Brain; 240x240 px; Image width 240 mm, 1.00 mm slice spacing
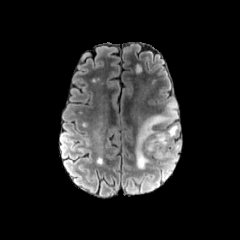
FLAIR MR image.
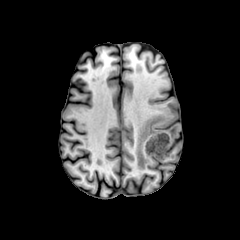
T1-weighted MR image.
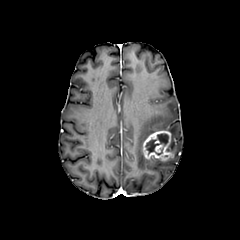
Same slice, post-contrast T1-weighted magnetic resonance.
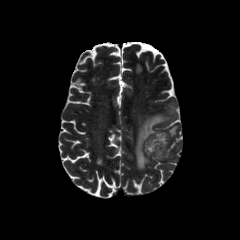
Same slice, T2-weighted magnetic resonance.
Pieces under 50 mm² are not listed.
The 2 largest necrotic tumor core regions are bounded by box=[157, 133, 168, 145]; box=[145, 140, 159, 153]. The enhancing tumor is bounded by box=[143, 130, 173, 160]. The peritumoral edema is bounded by box=[135, 100, 180, 169].